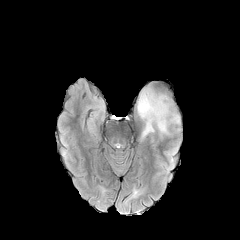
FLAIR magnetic resonance.
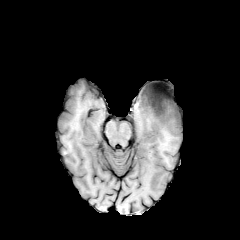
T1-weighted MR image.
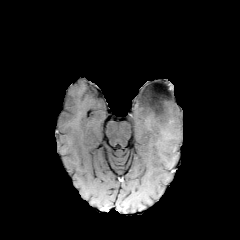
Post-contrast T1-weighted MRI of the same slice.
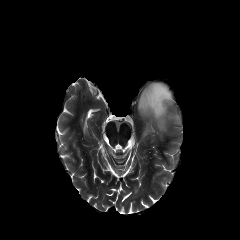
T2-weighted magnetic resonance of the same slice.
Axial view. Brain.
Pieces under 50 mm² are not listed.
- necrotic tumor core: box(143, 84, 171, 115)
- peritumoral edema: box(137, 87, 180, 138)